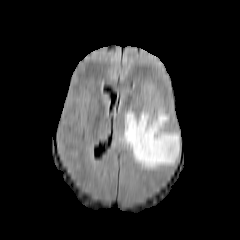
FLAIR MR.
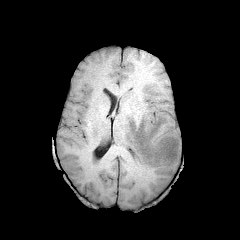
T1-weighted MRI of the same slice.
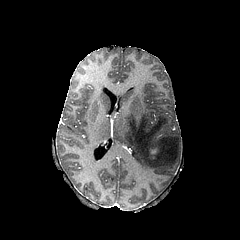
Post-contrast T1-weighted MRI.
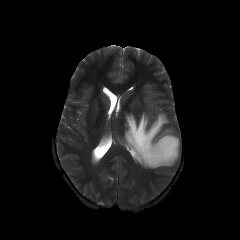
T2-weighted MR.
Image size 240x240.
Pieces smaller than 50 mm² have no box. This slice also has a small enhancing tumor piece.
The peritumoral edema is bounded by box(120, 109, 179, 169).